Slice index 80. Brain. 240x240 px.
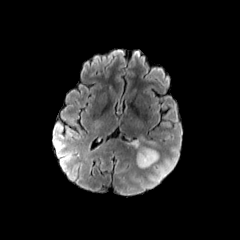
FLAIR MR.
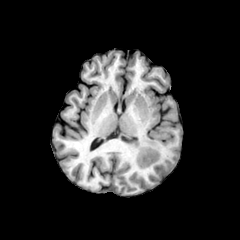
T1-weighted MRI.
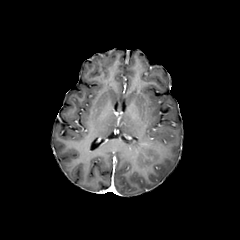
Post-contrast T1-weighted magnetic resonance.
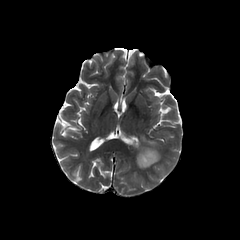
T2-weighted MR of the same slice.
peritumoral edema: bounding box <bbox>125, 136, 156, 148</bbox>, <bbox>136, 146, 159, 168</bbox>